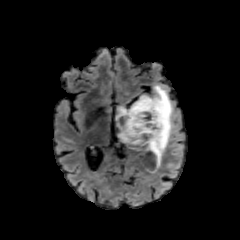
FLAIR MR image.
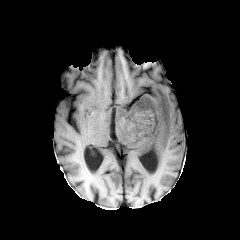
T1-weighted MR image.
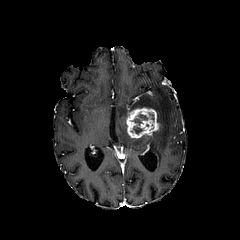
Post-contrast T1-weighted MR of the same slice.
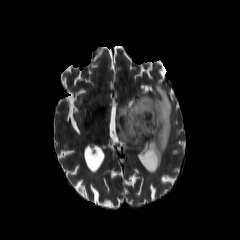
T2-weighted magnetic resonance.
Axial view
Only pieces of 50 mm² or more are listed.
The enhancing tumor is bounded by [126,107,160,166]. The peritumoral edema is located at [114,84,173,174]. The largest necrotic tumor core region is located at [132,114,147,125].